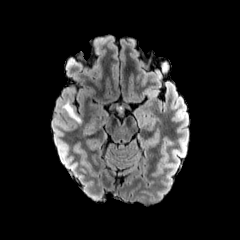
FLAIR magnetic resonance.
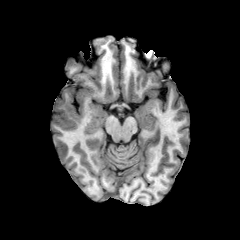
T1-weighted MR image of the same slice.
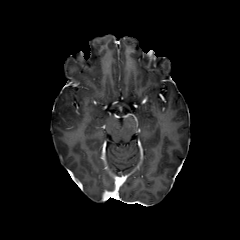
Same slice, post-contrast T1-weighted magnetic resonance.
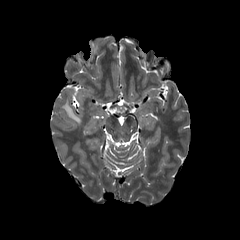
Same slice, T2-weighted MR.
240x240 px; Axial slice
The peritumoral edema is located at (62, 102, 81, 123).